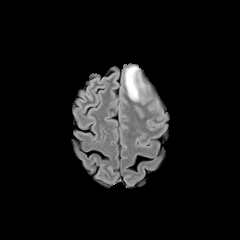
FLAIR MR.
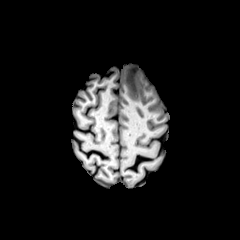
Same slice, T1-weighted MR image.
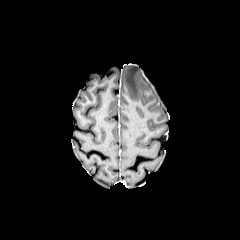
Post-contrast T1-weighted MRI of the same slice.
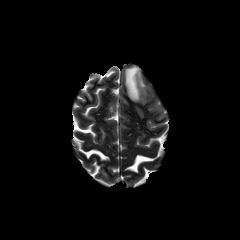
Same slice, T2-weighted MR.
Axial plane. Brain.
* peritumoral edema: region(125, 66, 144, 100)